FLAIR MR image.
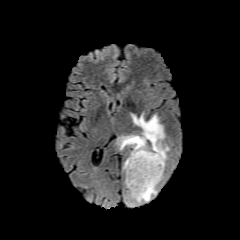
T1-weighted MR image.
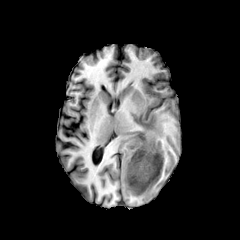
Post-contrast T1-weighted magnetic resonance.
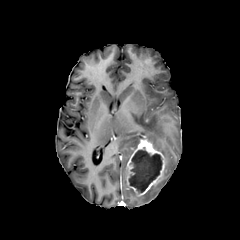
T2-weighted MR image.
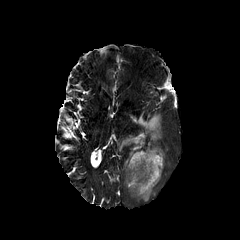
Axial view.
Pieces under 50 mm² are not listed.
enhancing tumor: bbox(125, 136, 165, 196)
peritumoral edema: bbox(128, 185, 157, 203); bbox(118, 113, 169, 176)
necrotic tumor core: bbox(129, 150, 162, 192)